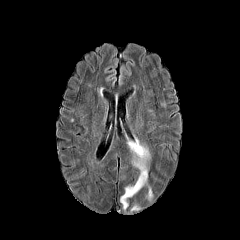
FLAIR MR.
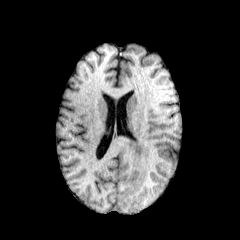
Same slice, T1-weighted MR.
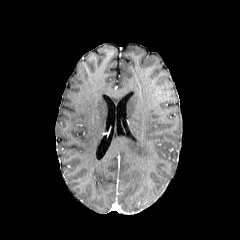
Post-contrast T1-weighted MR.
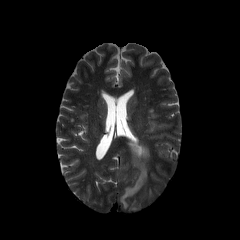
T2-weighted MRI.
Axial view, Head
peritumoral edema at (130, 204, 141, 211), (145, 186, 153, 199), (120, 138, 150, 209)